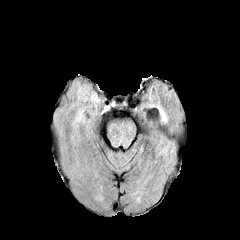
FLAIR magnetic resonance.
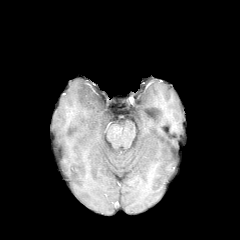
T1-weighted MR.
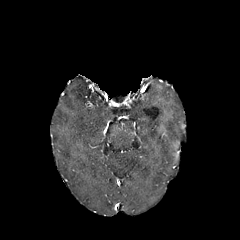
Post-contrast T1-weighted MRI.
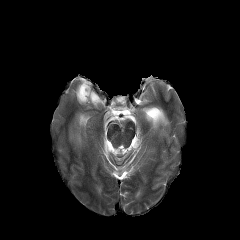
T2-weighted MR image.
240x240 px
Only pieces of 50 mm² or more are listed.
The 2 largest peritumoral edema regions appear at (90,93,99,102), (78,87,89,101).